Slice index 128, 240x240 px, Axial view
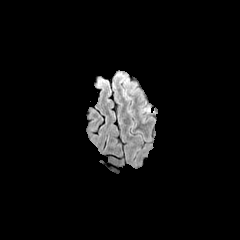
FLAIR magnetic resonance.
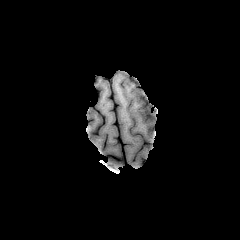
Same slice, T1-weighted MR image.
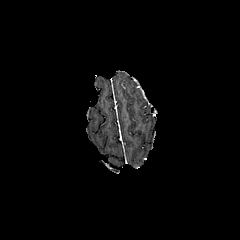
Post-contrast T1-weighted MRI.
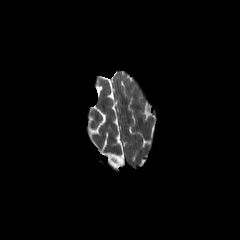
Same slice, T2-weighted magnetic resonance.
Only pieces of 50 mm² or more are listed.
peritumoral edema: [125, 80, 135, 90], [122, 90, 130, 99]